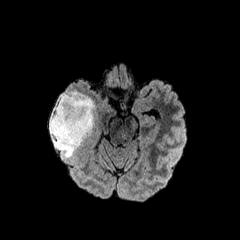
FLAIR MR.
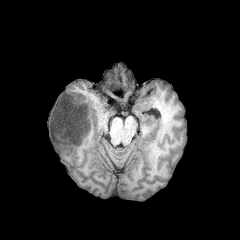
T1-weighted magnetic resonance.
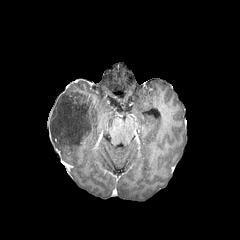
Post-contrast T1-weighted magnetic resonance of the same slice.
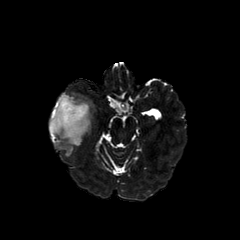
T2-weighted magnetic resonance.
Axial plane.
The peritumoral edema appears at (49,91,95,157).